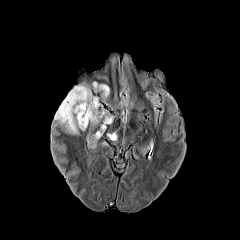
FLAIR magnetic resonance.
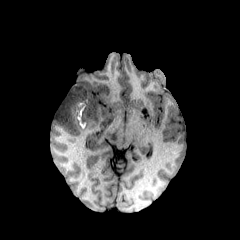
T1-weighted MR of the same slice.
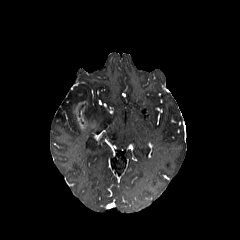
Post-contrast T1-weighted magnetic resonance.
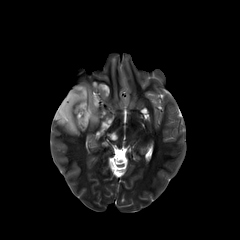
T2-weighted magnetic resonance.
Head; Image size 240x240; Axial plane
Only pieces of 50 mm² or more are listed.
Annotated regions:
- necrotic tumor core: (78,100,92,122), (71,102,78,121)
- enhancing tumor: (73,101,87,131)
- peritumoral edema: (54,85,113,134), (107,132,116,139), (92,82,109,98)